Brain | Slice 101 of 155 | Image covers 240 mm x 240 mm
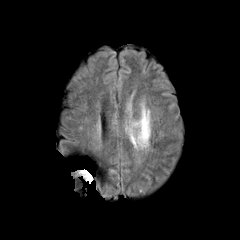
FLAIR MR.
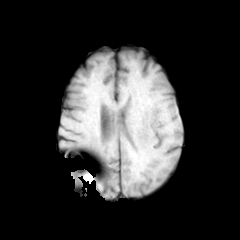
T1-weighted MR of the same slice.
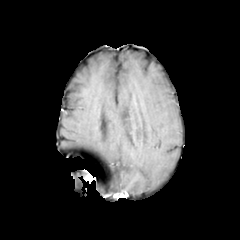
Post-contrast T1-weighted magnetic resonance.
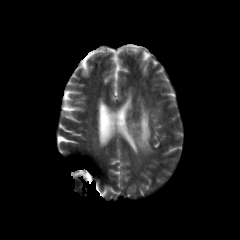
Same slice, T2-weighted MR.
{
  "peritumoral_edema": [
    "123, 100, 150, 149"
  ]
}